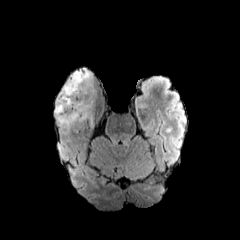
FLAIR magnetic resonance.
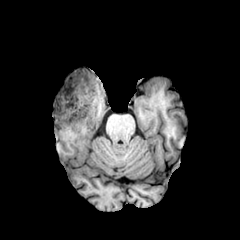
T1-weighted MR image.
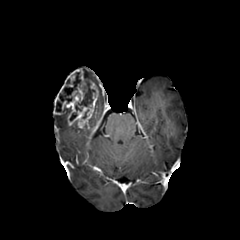
Post-contrast T1-weighted MR image.
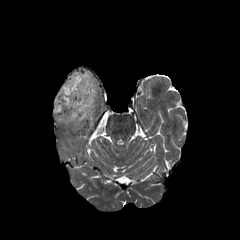
T2-weighted MRI.
Head. Axial plane.
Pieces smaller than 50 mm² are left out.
necrotic tumor core: bounding box x1=56 y1=72 x2=80 y2=112, x1=78 y1=81 x2=95 y2=106
peritumoral edema: bounding box x1=83 y1=69 x2=92 y2=80, x1=56 y1=112 x2=69 y2=126
enhancing tumor: bounding box x1=54 y1=69 x2=98 y2=128